FLAIR MRI.
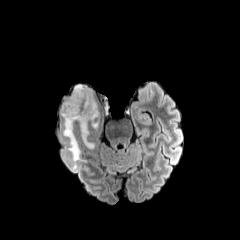
T1-weighted MR image.
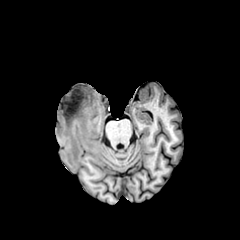
Post-contrast T1-weighted MR.
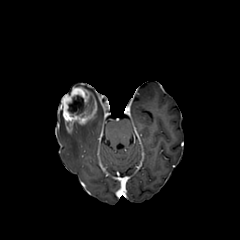
T2-weighted MRI.
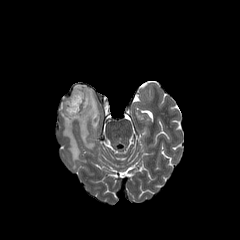
Axial slice. Brain.
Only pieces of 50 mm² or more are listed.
enhancing_tumor:
  - 59,86,97,133
necrotic_tumor_core:
  - 68,95,86,114
  - 88,96,93,110
peritumoral_edema:
  - 80,122,93,148
  - 63,120,80,169
  - 92,110,99,129